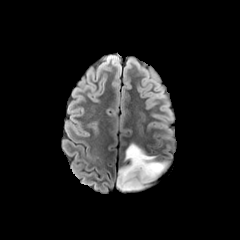
FLAIR MR image.
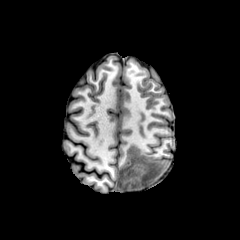
T1-weighted MR image.
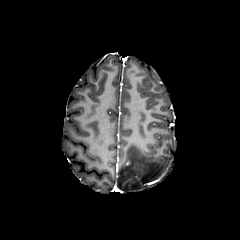
Post-contrast T1-weighted magnetic resonance of the same slice.
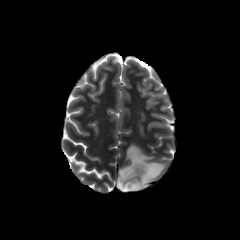
T2-weighted MRI.
Brain | Axial slice
The peritumoral edema lies within l=117, t=144, r=167, b=191.